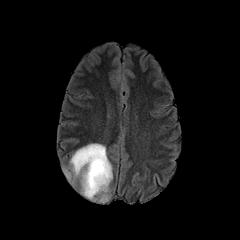
FLAIR magnetic resonance.
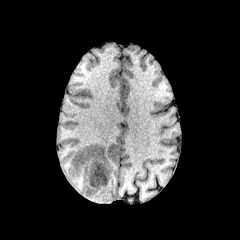
T1-weighted MR image.
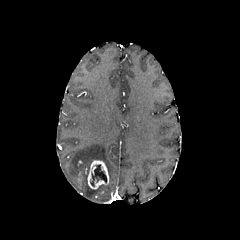
Post-contrast T1-weighted magnetic resonance.
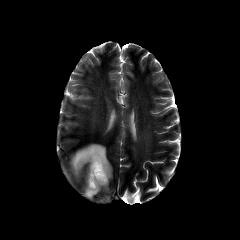
T2-weighted MRI.
Brain. Image size 240x240.
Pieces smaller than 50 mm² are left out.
The necrotic tumor core lies within rect(90, 165, 106, 186). 2 peritumoral edema regions appear at rect(64, 169, 71, 180); rect(70, 143, 112, 202). The largest enhancing tumor region is located at rect(87, 159, 109, 189).